FLAIR MR image.
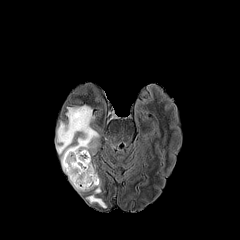
T1-weighted MRI.
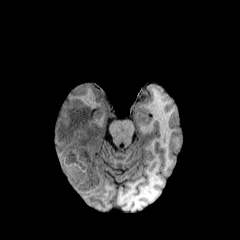
Post-contrast T1-weighted MR image.
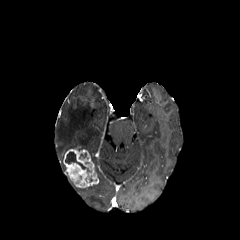
T2-weighted MRI.
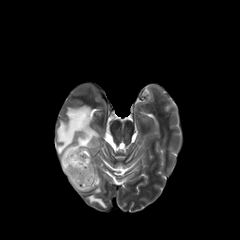
240x240 px
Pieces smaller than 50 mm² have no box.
<segmentation>
  <necrotic_tumor_core>left=65, top=152, right=90, bottom=171</necrotic_tumor_core>
  <enhancing_tumor>left=63, top=148, right=98, bottom=187</enhancing_tumor>
  <peritumoral_edema>left=86, top=195, right=106, bottom=207; left=56, top=105, right=99, bottom=170; left=71, top=181, right=100, bottom=193</peritumoral_edema>
</segmentation>